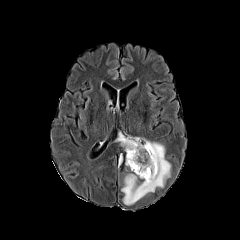
FLAIR MR.
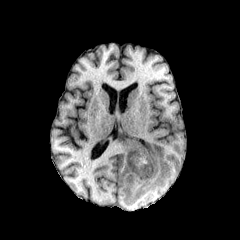
T1-weighted MR.
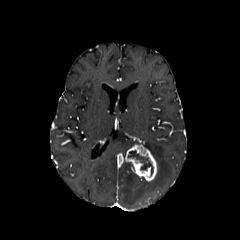
Post-contrast T1-weighted magnetic resonance.
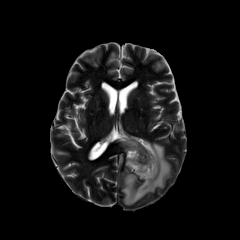
T2-weighted MR image.
Head
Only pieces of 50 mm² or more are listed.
The largest enhancing tumor region is bounded by left=125, top=138, right=157, bottom=181. The necrotic tumor core lies within left=128, top=150, right=153, bottom=175. The 2 largest peritumoral edema regions appear at left=117, top=135, right=139, bottom=151; left=121, top=140, right=170, bottom=205.